Slice index 33. Axial view.
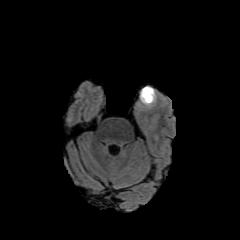
FLAIR MR image.
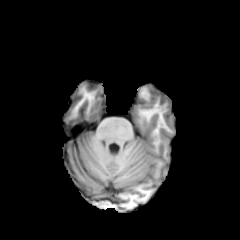
T1-weighted MR image.
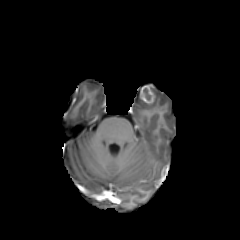
Post-contrast T1-weighted MR.
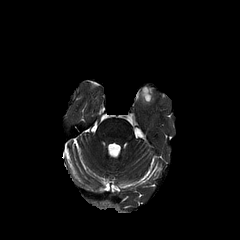
T2-weighted magnetic resonance.
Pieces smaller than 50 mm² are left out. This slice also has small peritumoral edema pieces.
necrotic tumor core: x1=143 y1=89 x2=151 y2=100
enhancing tumor: x1=140 y1=86 x2=155 y2=103